FLAIR magnetic resonance.
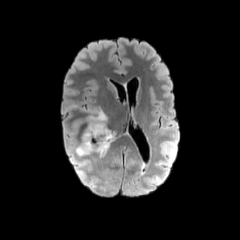
T1-weighted MRI.
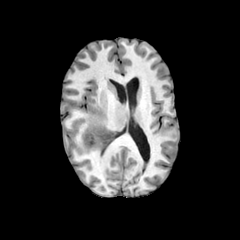
Post-contrast T1-weighted MR image.
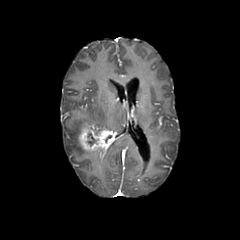
T2-weighted MR image.
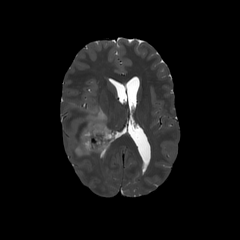
240x240, Brain, Axial view
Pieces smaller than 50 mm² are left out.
Segmented structures:
* peritumoral edema: [x1=88, y1=109, x2=106, y2=127], [x1=75, y1=143, x2=94, y2=156]
* necrotic tumor core: [x1=88, y1=133, x2=95, y2=145]
* enhancing tumor: [x1=79, y1=124, x2=115, y2=152]